240x240 px. Slice 78 of 155.
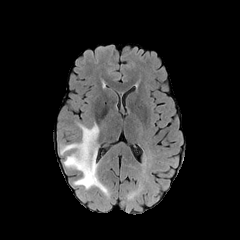
FLAIR MRI.
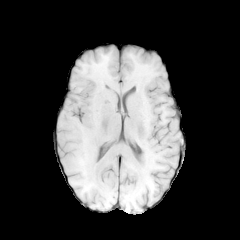
Same slice, T1-weighted MRI.
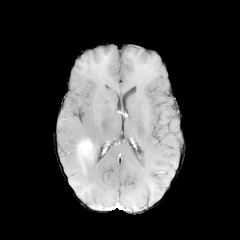
Post-contrast T1-weighted MR image.
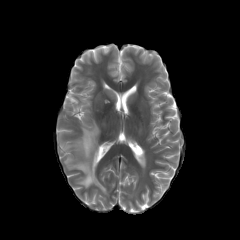
T2-weighted MRI.
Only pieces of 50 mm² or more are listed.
peritumoral_edema:
  - (x1=59, y1=122, x2=108, y2=196)
enhancing_tumor:
  - (x1=78, y1=140, x2=92, y2=156)